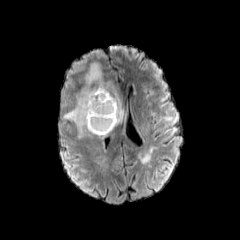
FLAIR MR.
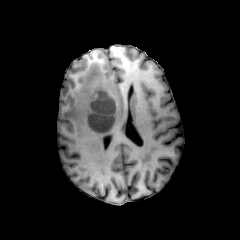
T1-weighted MR of the same slice.
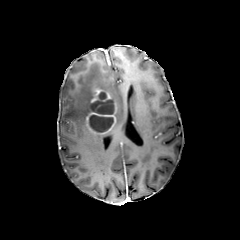
Post-contrast T1-weighted MR.
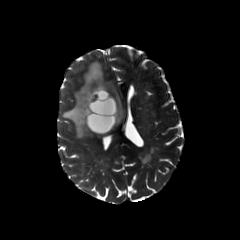
T2-weighted magnetic resonance.
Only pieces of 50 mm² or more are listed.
<segmentation>
  <necrotic_tumor_core>box=[89, 115, 113, 132]; box=[90, 92, 114, 114]</necrotic_tumor_core>
  <peritumoral_edema>box=[63, 62, 124, 135]</peritumoral_edema>
  <enhancing_tumor>box=[86, 84, 116, 134]</enhancing_tumor>
</segmentation>